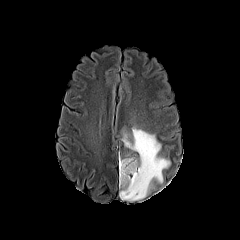
FLAIR MR.
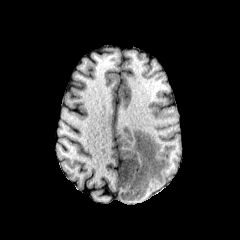
T1-weighted MR image.
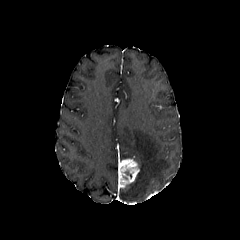
Post-contrast T1-weighted MRI.
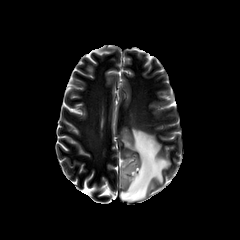
T2-weighted MR image.
Axial slice. 240x240.
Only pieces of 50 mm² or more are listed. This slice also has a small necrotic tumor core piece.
enhancing_tumor:
  - [118, 158, 139, 188]
peritumoral_edema:
  - [119, 127, 170, 201]